FLAIR magnetic resonance.
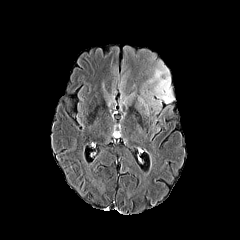
T1-weighted MR image.
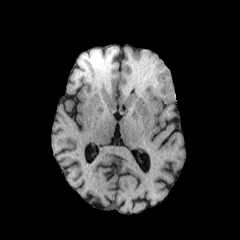
Post-contrast T1-weighted magnetic resonance.
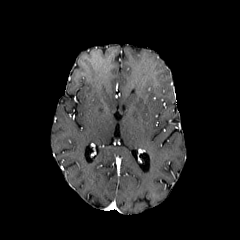
T2-weighted MR image.
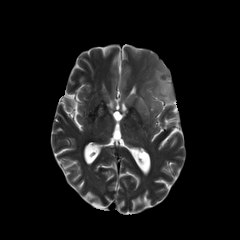
240x240 px
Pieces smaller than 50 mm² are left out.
peritumoral edema: <box>139,60,174,109</box>